FLAIR MR image.
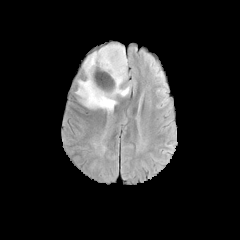
T1-weighted MR.
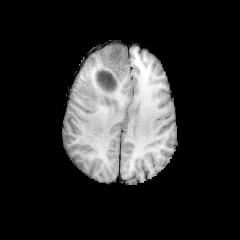
Post-contrast T1-weighted MRI.
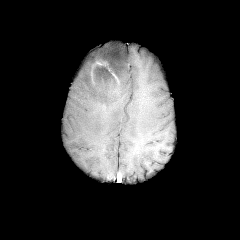
T2-weighted MR image.
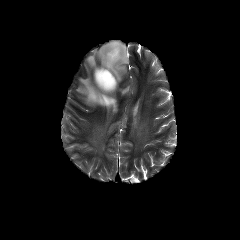
Brain
<segmentation>
  <enhancing_tumor>(90,59,120,85)</enhancing_tumor>
  <necrotic_tumor_core>(94,65,115,90)</necrotic_tumor_core>
  <peritumoral_edema>(74,43,129,112)</peritumoral_edema>
</segmentation>